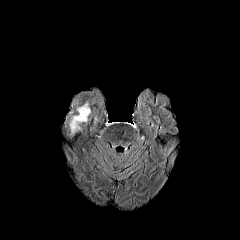
FLAIR MR image.
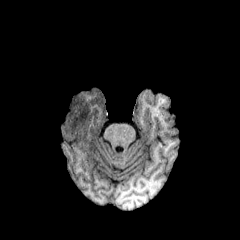
T1-weighted MRI of the same slice.
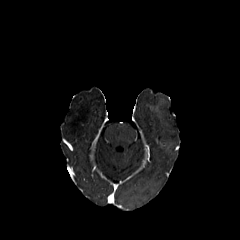
Post-contrast T1-weighted magnetic resonance.
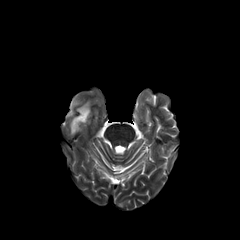
T2-weighted MR.
Axial slice, 240x240 px
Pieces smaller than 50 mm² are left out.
peritumoral edema = left=69, top=102, right=90, bottom=134